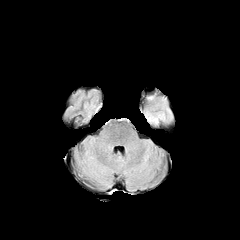
FLAIR MR.
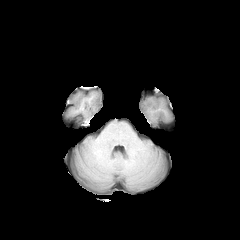
T1-weighted MRI of the same slice.
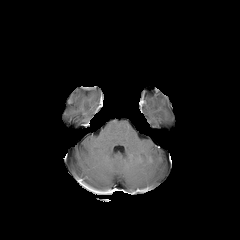
Same slice, post-contrast T1-weighted magnetic resonance.
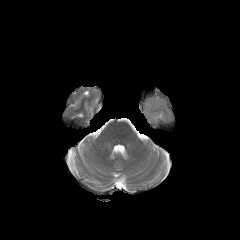
T2-weighted MR image of the same slice.
240x240 | Brain
peritumoral edema: [149,115,162,123]